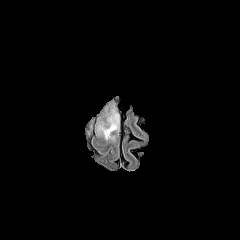
FLAIR MRI.
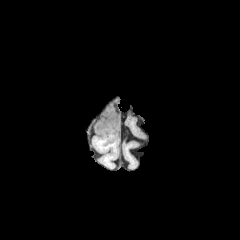
T1-weighted magnetic resonance.
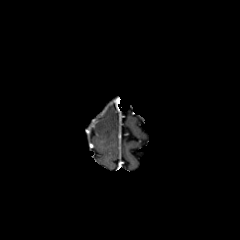
Post-contrast T1-weighted magnetic resonance of the same slice.
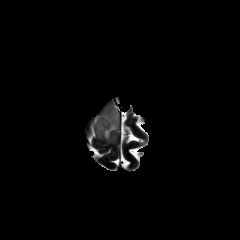
T2-weighted magnetic resonance.
Head.
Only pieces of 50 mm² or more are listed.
peritumoral edema at <box>97,110,119,140</box>